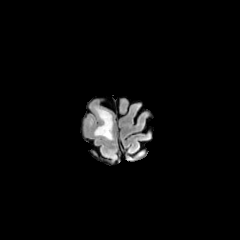
FLAIR MRI.
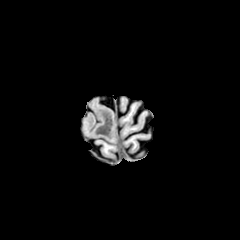
Same slice, T1-weighted MR image.
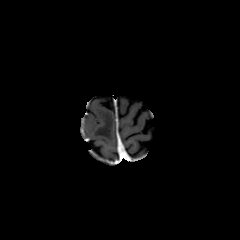
Post-contrast T1-weighted MR.
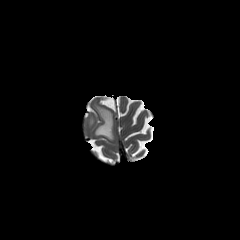
T2-weighted MR.
Head | Axial view | 240x240
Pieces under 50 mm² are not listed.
peritumoral edema: x1=94 y1=106 x2=113 y2=139